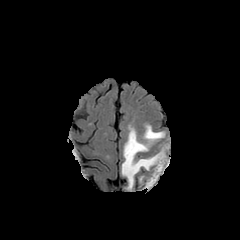
FLAIR magnetic resonance.
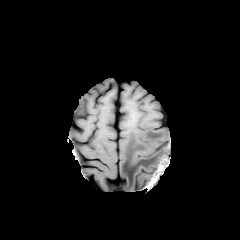
T1-weighted MR of the same slice.
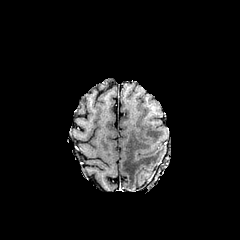
Post-contrast T1-weighted MR image.
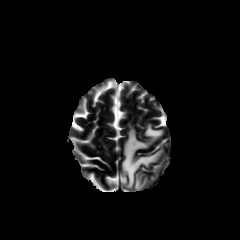
T2-weighted MRI.
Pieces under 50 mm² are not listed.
peritumoral edema: 121,124,165,190